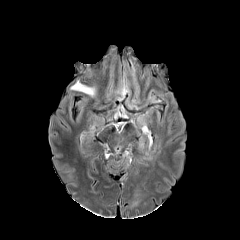
FLAIR MRI.
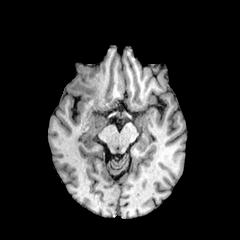
T1-weighted MR of the same slice.
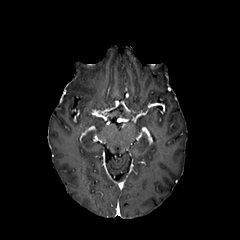
Post-contrast T1-weighted MR image of the same slice.
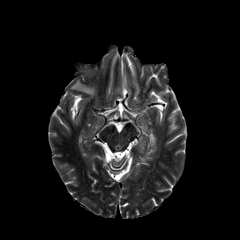
T2-weighted MR.
Brain
The peritumoral edema lies within 71,80,95,96.